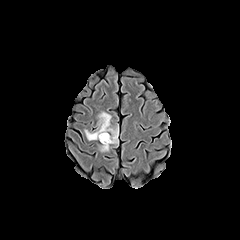
FLAIR MR image.
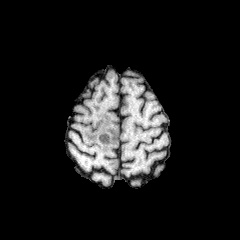
Same slice, T1-weighted magnetic resonance.
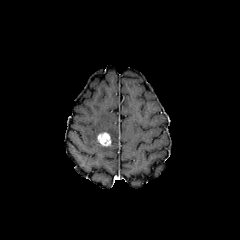
Post-contrast T1-weighted MR image of the same slice.
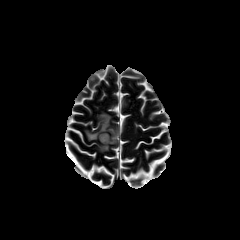
T2-weighted MR.
Brain, Axial slice
2 peritumoral edema regions are bounded by <box>99,144,109,151</box>, <box>84,112,118,144</box>. The enhancing tumor is located at <box>97,132,111,146</box>.